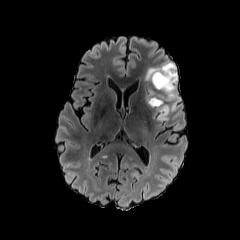
FLAIR MR.
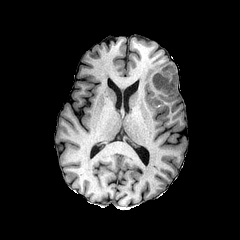
T1-weighted magnetic resonance of the same slice.
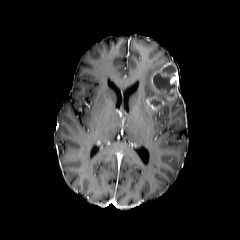
Post-contrast T1-weighted MRI of the same slice.
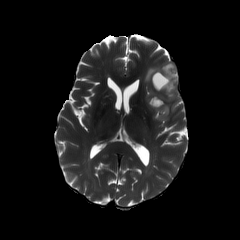
Same slice, T2-weighted magnetic resonance.
Axial plane | 240x240 px
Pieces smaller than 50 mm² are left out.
Findings:
- necrotic tumor core: 162, 65, 175, 74; 153, 73, 176, 92
- enhancing tumor: 146, 96, 165, 111; 151, 62, 178, 101
- peritumoral edema: 144, 65, 180, 120